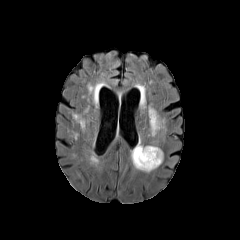
FLAIR MR.
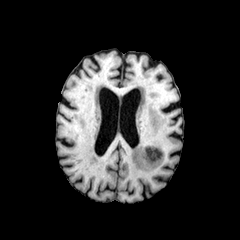
T1-weighted MR.
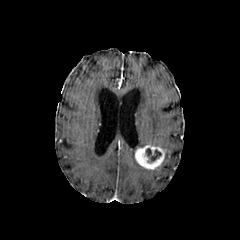
Post-contrast T1-weighted MR.
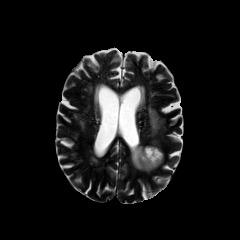
T2-weighted magnetic resonance of the same slice.
Axial slice | Head
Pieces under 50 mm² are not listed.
enhancing tumor: bounding box x1=135 y1=145 x2=164 y2=169
necrotic tumor core: bounding box x1=146 y1=148 x2=161 y2=162
peritumoral edema: bounding box x1=130 y1=142 x2=153 y2=172, x1=148 y1=107 x2=164 y2=135